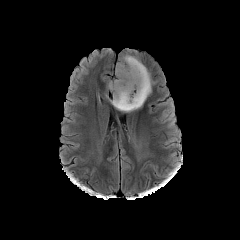
FLAIR MR.
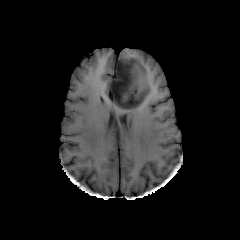
T1-weighted MRI.
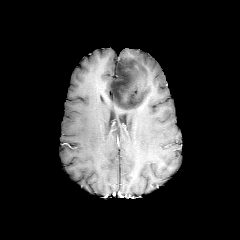
Post-contrast T1-weighted MRI.
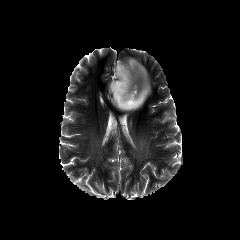
T2-weighted MRI.
240x240, Axial plane
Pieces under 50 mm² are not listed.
peritumoral edema at rect(111, 55, 151, 112)
necrotic tumor core at rect(111, 61, 146, 108)